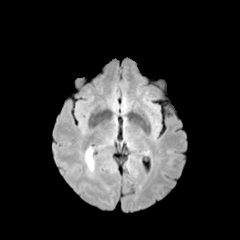
FLAIR MR image.
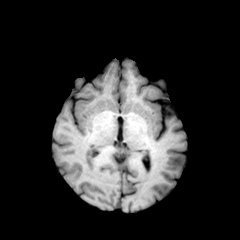
T1-weighted MR image.
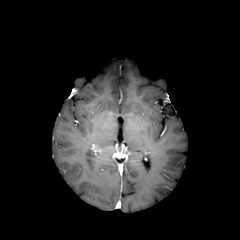
Post-contrast T1-weighted magnetic resonance.
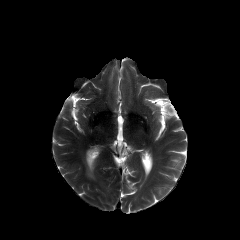
T2-weighted MR image of the same slice.
Head.
{
  "peritumoral_edema": [
    "region(85, 148, 94, 172)"
  ]
}